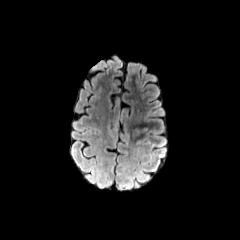
FLAIR MRI.
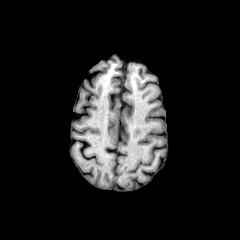
T1-weighted MRI of the same slice.
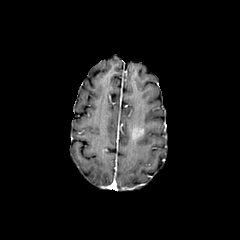
Same slice, post-contrast T1-weighted MR image.
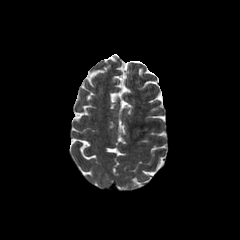
T2-weighted MRI of the same slice.
240x240, Head, Axial view
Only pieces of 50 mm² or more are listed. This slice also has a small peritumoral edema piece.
enhancing tumor: x1=132 y1=126 x2=144 y2=139